FLAIR magnetic resonance.
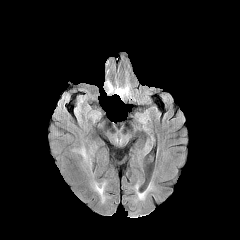
T1-weighted MR.
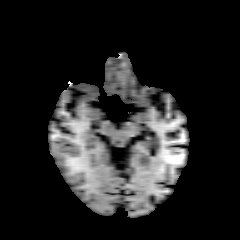
Post-contrast T1-weighted MR.
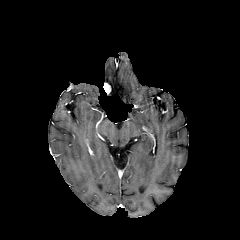
T2-weighted MR.
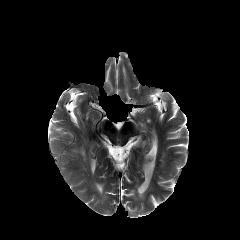
Head, Axial slice
peritumoral edema: bounding box [78,147,87,160]